FLAIR MR image.
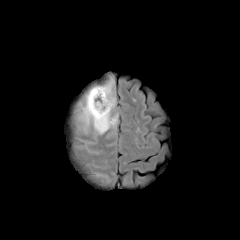
T1-weighted magnetic resonance.
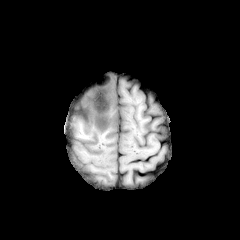
Post-contrast T1-weighted MR image.
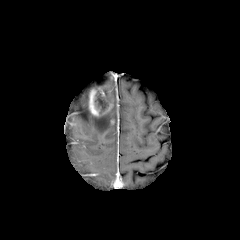
T2-weighted MR image.
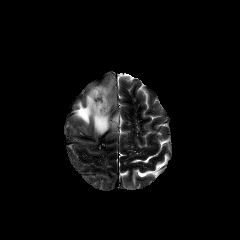
Brain, 240x240 px
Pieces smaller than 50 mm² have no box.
Segmented structures:
* enhancing tumor: 88, 85, 112, 116
* peritumoral edema: 66, 71, 117, 134
* necrotic tumor core: 95, 91, 108, 110